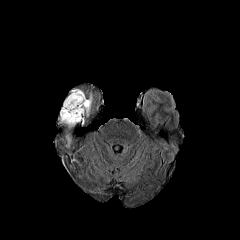
FLAIR MRI.
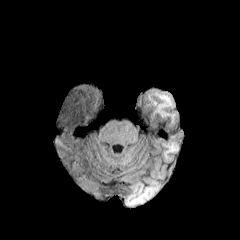
Same slice, T1-weighted MR.
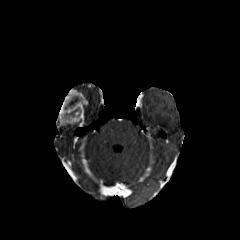
Same slice, post-contrast T1-weighted magnetic resonance.
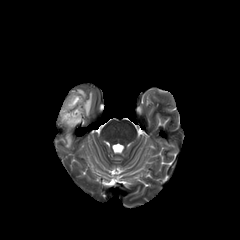
T2-weighted magnetic resonance.
Head; Axial plane
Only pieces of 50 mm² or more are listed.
{
  "enhancing_tumor": [
    "region(58, 89, 88, 126)"
  ],
  "necrotic_tumor_core": [
    "region(68, 97, 79, 106)"
  ],
  "peritumoral_edema": [
    "region(65, 135, 71, 147)",
    "region(85, 93, 92, 116)"
  ]
}